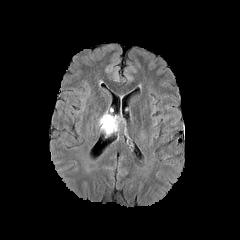
FLAIR magnetic resonance.
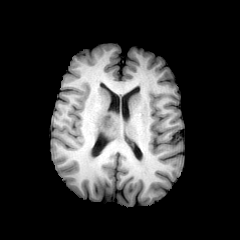
T1-weighted magnetic resonance of the same slice.
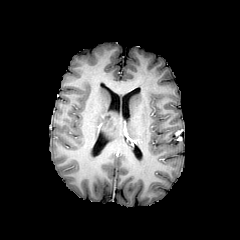
Post-contrast T1-weighted MR image of the same slice.
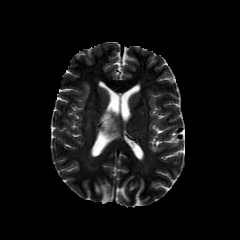
Same slice, T2-weighted MR.
Axial plane.
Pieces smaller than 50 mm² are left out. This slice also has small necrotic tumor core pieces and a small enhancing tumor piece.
Segmented structures:
* peritumoral edema: <bbox>100, 113, 117, 133</bbox>